FLAIR MR.
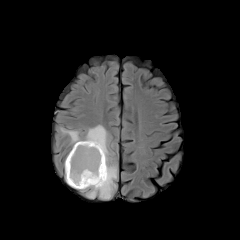
T1-weighted magnetic resonance.
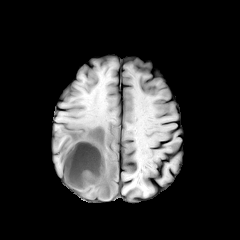
Post-contrast T1-weighted MR.
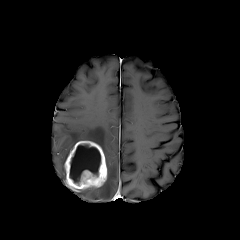
T2-weighted magnetic resonance.
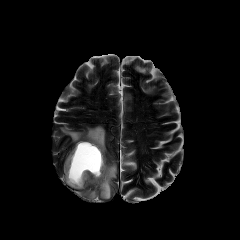
Axial slice; Brain
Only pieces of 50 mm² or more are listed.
necrotic tumor core — x1=69, y1=144, x2=100, y2=182
peritumoral edema — x1=60, y1=125, x2=117, y2=199
enhancing tumor — x1=64, y1=140, x2=107, y2=189